240x240, Axial slice, Head
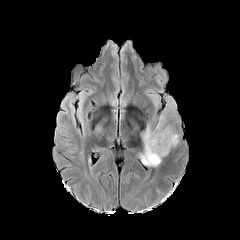
FLAIR MR.
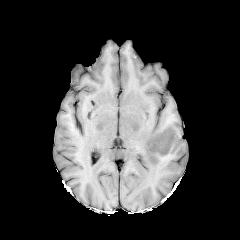
Same slice, T1-weighted MR.
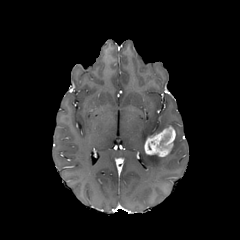
Post-contrast T1-weighted MR image of the same slice.
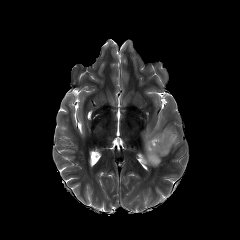
T2-weighted MR of the same slice.
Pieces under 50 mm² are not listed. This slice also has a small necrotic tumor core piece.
<segmentation>
  <peritumoral_edema>x1=141 y1=116 x2=164 y2=144, x1=173 y1=133 x2=178 y2=146, x1=140 y1=150 x2=162 y2=166</peritumoral_edema>
  <enhancing_tumor>x1=144 y1=126 x2=175 y2=156</enhancing_tumor>
</segmentation>